Axial view | Head
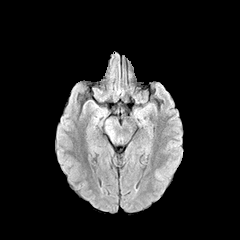
FLAIR MRI.
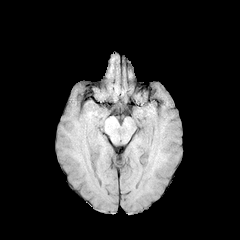
T1-weighted MR image.
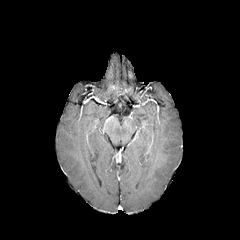
Post-contrast T1-weighted MRI.
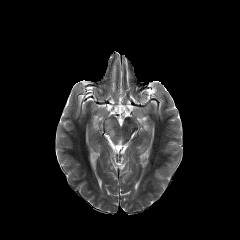
T2-weighted magnetic resonance.
{
  "peritumoral_edema": [
    "x1=106, y1=126, x2=114, y2=139"
  ]
}